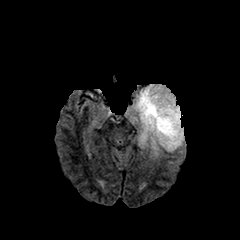
FLAIR MRI.
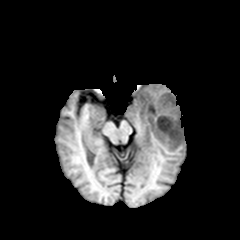
T1-weighted MR image.
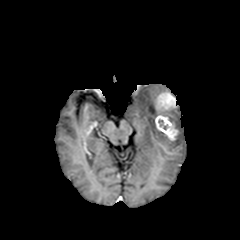
Post-contrast T1-weighted MR image.
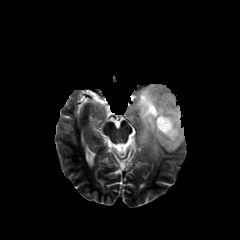
Same slice, T2-weighted magnetic resonance.
Axial slice. Brain.
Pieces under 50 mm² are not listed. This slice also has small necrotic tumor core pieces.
The enhancing tumor appears at [155,92,178,140]. The largest peritumoral edema region is located at [126,84,184,157].